Axial plane
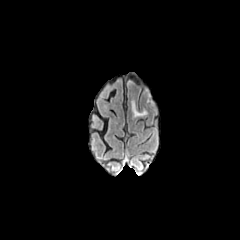
FLAIR magnetic resonance.
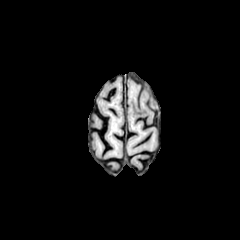
T1-weighted magnetic resonance.
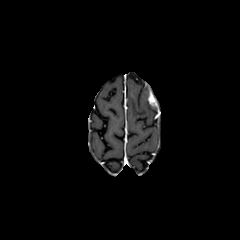
Post-contrast T1-weighted MRI.
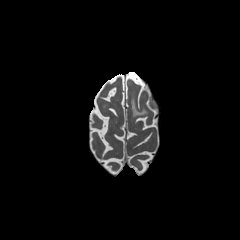
Same slice, T2-weighted MR.
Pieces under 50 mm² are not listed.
peritumoral_edema:
  - [131, 97, 147, 117]
enhancing_tumor:
  - [147, 90, 157, 108]